240x240 px. Slice 78 of 155.
FLAIR MRI.
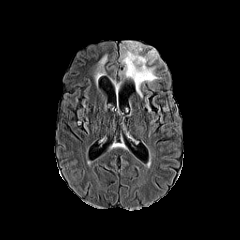
T1-weighted MR.
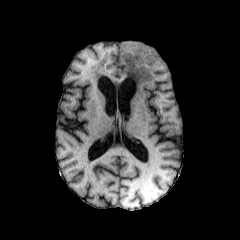
Post-contrast T1-weighted MR image.
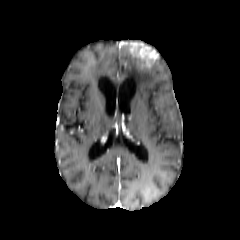
T2-weighted MR image.
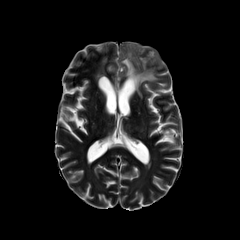
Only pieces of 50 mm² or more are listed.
The largest enhancing tumor region is at (x1=119, y1=41, x2=159, y2=68). The 2 largest peritumoral edema regions are located at (x1=120, y1=46, x2=158, y2=97), (x1=95, y1=55, x2=107, y2=80).